Image size 240x240, Axial view, Slice 45/155, Head
FLAIR MRI.
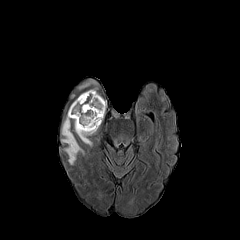
T1-weighted MRI.
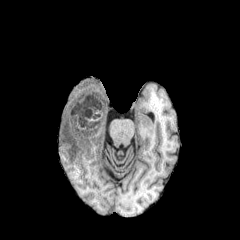
Post-contrast T1-weighted magnetic resonance.
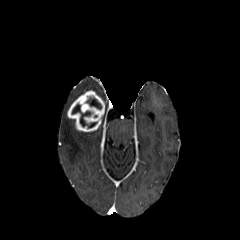
T2-weighted MR.
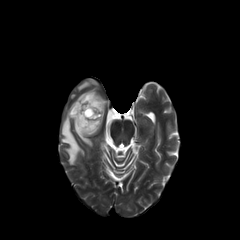
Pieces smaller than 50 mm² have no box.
Segmented structures:
• enhancing tumor: [67,90,105,132]
• necrotic tumor core: [85,97,101,109], [72,104,96,129]
• peritumoral edema: [74,122,95,146], [61,116,84,164], [78,79,96,89]